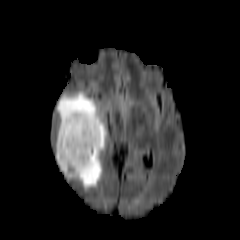
FLAIR MRI.
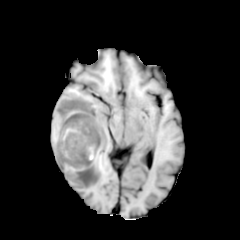
T1-weighted magnetic resonance.
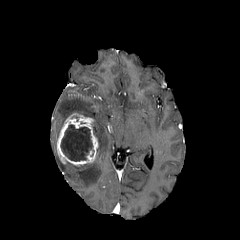
Post-contrast T1-weighted MR.
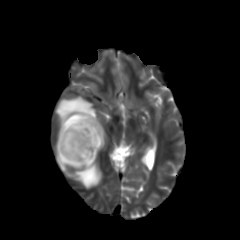
T2-weighted MR image of the same slice.
Axial plane. Brain.
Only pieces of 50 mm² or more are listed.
Findings:
• peritumoral edema: {"x1": 56, "y1": 150, "x2": 72, "y2": 178}, {"x1": 57, "y1": 92, "x2": 95, "y2": 132}, {"x1": 75, "y1": 116, "x2": 106, "y2": 188}
• necrotic tumor core: {"x1": 61, "y1": 124, "x2": 92, "y2": 161}
• enhancing tumor: {"x1": 57, "y1": 112, "x2": 98, "y2": 166}